Head. Slice 116 of 155. Image width 240 mm, 1.00 mm slice spacing. Axial plane.
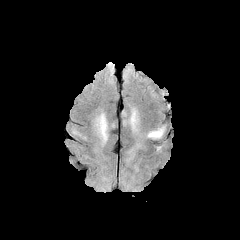
FLAIR MR.
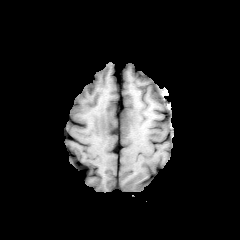
T1-weighted MR image.
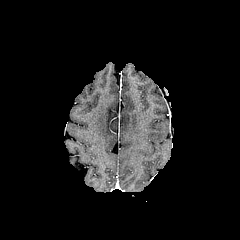
Post-contrast T1-weighted MR image of the same slice.
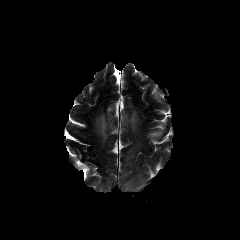
T2-weighted magnetic resonance.
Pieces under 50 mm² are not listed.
peritumoral edema: bounding box 147:127:164:138, 95:113:108:142, 123:108:138:131